Axial plane | Slice 99 of 155
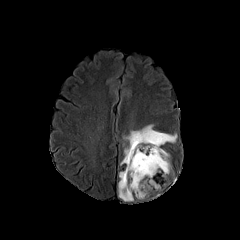
FLAIR magnetic resonance.
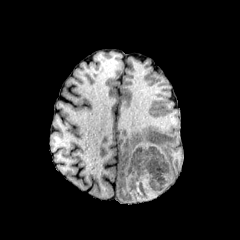
T1-weighted MR image of the same slice.
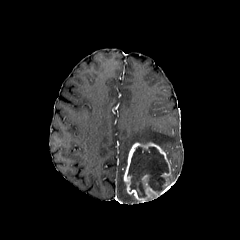
Same slice, post-contrast T1-weighted MR.
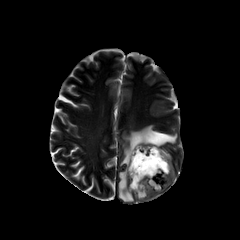
T2-weighted MR.
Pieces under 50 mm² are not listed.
The enhancing tumor is bounded by rect(123, 142, 172, 201). The necrotic tumor core appears at rect(128, 147, 168, 197). The 2 largest peritumoral edema regions appear at rect(118, 171, 133, 201); rect(120, 124, 177, 164).